FLAIR MR image.
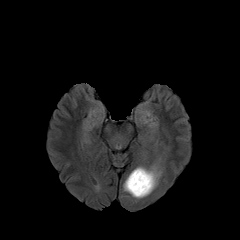
T1-weighted MR image.
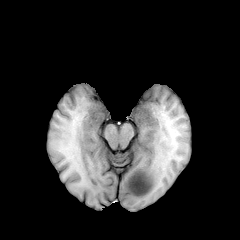
Post-contrast T1-weighted MRI.
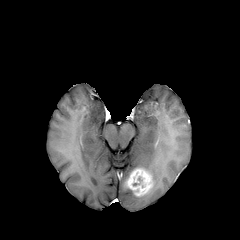
T2-weighted MRI.
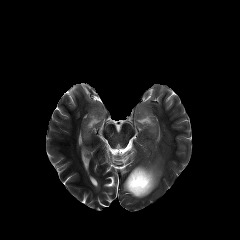
Head
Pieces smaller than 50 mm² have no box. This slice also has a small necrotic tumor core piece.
enhancing_tumor:
  - (x1=125, y1=168, x2=153, y2=196)
peritumoral_edema:
  - (x1=123, y1=162, x2=161, y2=198)